FLAIR magnetic resonance.
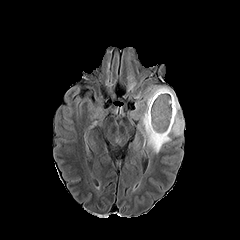
T1-weighted MR.
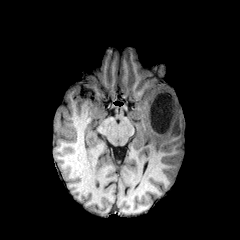
Post-contrast T1-weighted MR.
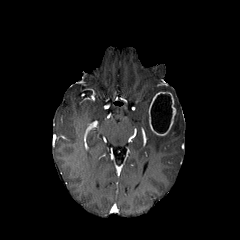
T2-weighted MRI.
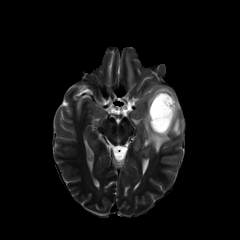
Axial slice, Brain
{
  "peritumoral_edema": [
    "141,86,184,152"
  ],
  "enhancing_tumor": [
    "148,91,176,135"
  ],
  "necrotic_tumor_core": [
    "150,94,172,133"
  ]
}